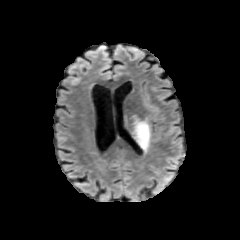
FLAIR MRI.
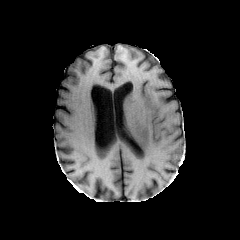
T1-weighted magnetic resonance.
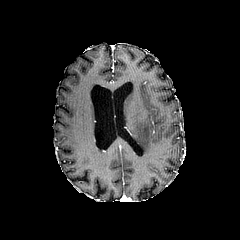
Post-contrast T1-weighted MRI.
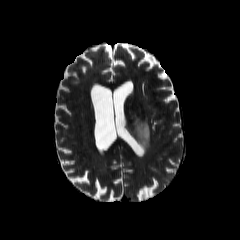
T2-weighted MR.
240x240 px
The peritumoral edema lies within (124, 114, 150, 154).